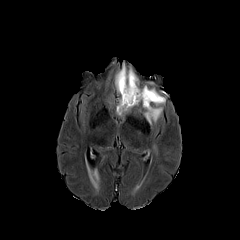
FLAIR MR image.
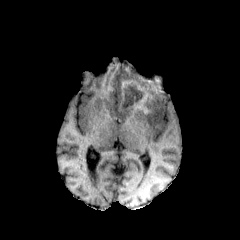
T1-weighted magnetic resonance.
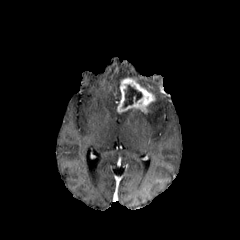
Post-contrast T1-weighted MR.
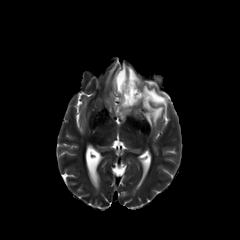
T2-weighted MR image of the same slice.
Axial view
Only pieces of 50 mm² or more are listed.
enhancing tumor = 117 77 155 113
necrotic tumor core = 123 85 142 107
peritumoral edema = 144 85 165 125, 115 64 139 93